Brain. Slice 119/155.
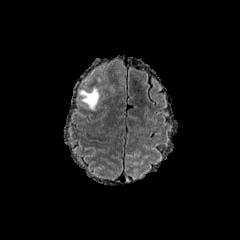
FLAIR magnetic resonance.
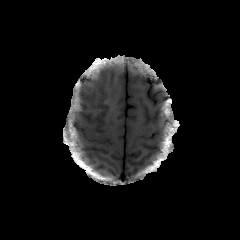
Same slice, T1-weighted MR image.
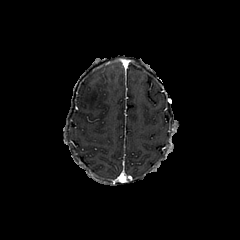
Post-contrast T1-weighted MRI.
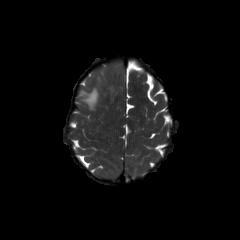
T2-weighted magnetic resonance of the same slice.
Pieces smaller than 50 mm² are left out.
peritumoral edema: bounding box [79,88,99,109]